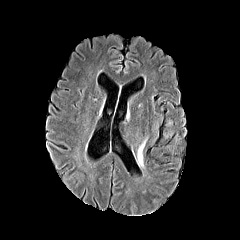
FLAIR MRI.
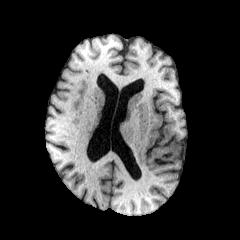
T1-weighted MR image.
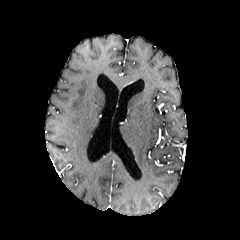
Post-contrast T1-weighted magnetic resonance.
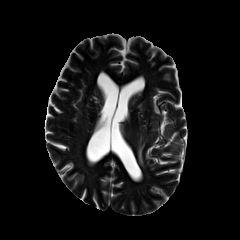
T2-weighted MRI.
Brain, 240x240
peritumoral edema = rect(138, 140, 145, 166)